Slice index 78; Axial slice
FLAIR MR.
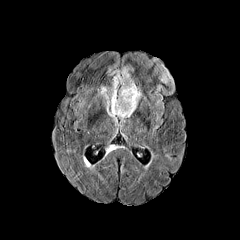
T1-weighted magnetic resonance.
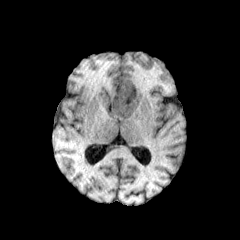
Post-contrast T1-weighted MR.
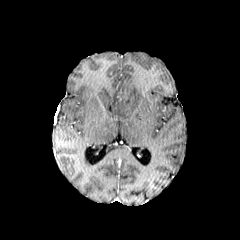
T2-weighted MR.
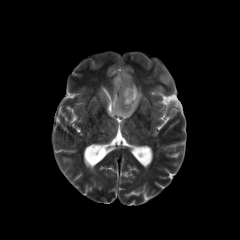
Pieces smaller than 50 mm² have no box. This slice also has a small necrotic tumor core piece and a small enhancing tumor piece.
<segmentation>
  <peritumoral_edema>98, 67, 141, 117</peritumoral_edema>
</segmentation>